Head, 240x240 px, Axial plane
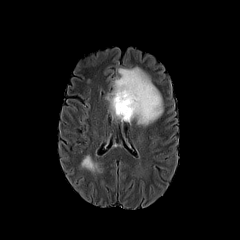
FLAIR MRI.
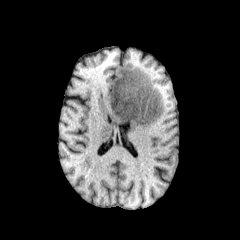
T1-weighted MR.
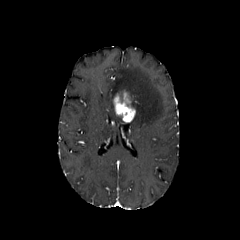
Post-contrast T1-weighted MR image.
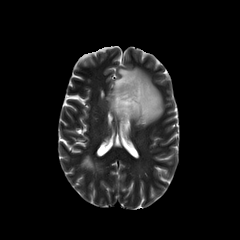
T2-weighted magnetic resonance.
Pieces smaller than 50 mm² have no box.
enhancing_tumor:
  - bbox=[113, 90, 135, 122]
peritumoral_edema:
  - bbox=[79, 154, 103, 173]
  - bbox=[105, 65, 163, 126]